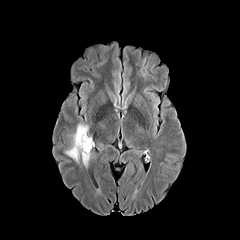
FLAIR MRI.
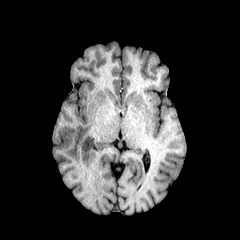
Same slice, T1-weighted MR.
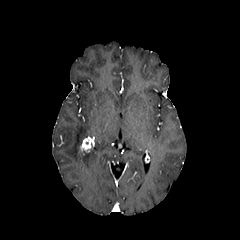
Same slice, post-contrast T1-weighted MRI.
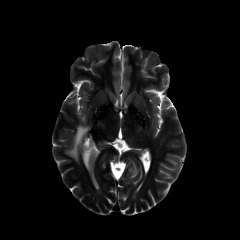
Same slice, T2-weighted magnetic resonance.
Head | Axial view
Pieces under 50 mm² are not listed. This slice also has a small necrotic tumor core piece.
enhancing_tumor:
  - x1=80 y1=136 x2=94 y2=154
peritumoral_edema:
  - x1=65 y1=124 x2=90 y2=166
  - x1=141 y1=68 x2=147 y2=77